Image size 240x240. Slice index 87. Image width 240 mm. Head.
FLAIR MRI.
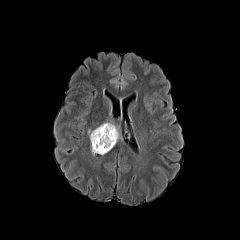
T1-weighted MR.
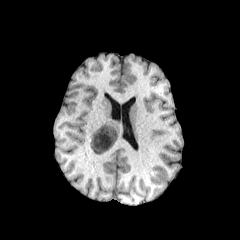
Post-contrast T1-weighted MR image.
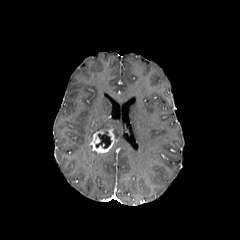
T2-weighted MR image.
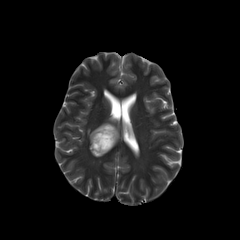
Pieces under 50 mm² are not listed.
{"enhancing_tumor": [{"x1": 90, "y1": 126, "x2": 116, "y2": 153}], "peritumoral_edema": [{"x1": 88, "y1": 123, "x2": 119, "y2": 140}], "necrotic_tumor_core": [{"x1": 96, "y1": 131, "x2": 111, "y2": 148}]}